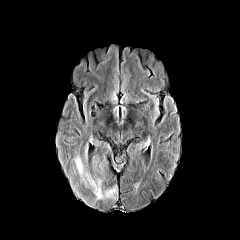
FLAIR MR image.
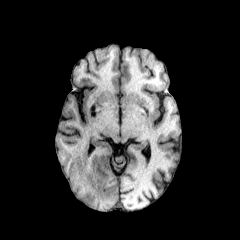
Same slice, T1-weighted magnetic resonance.
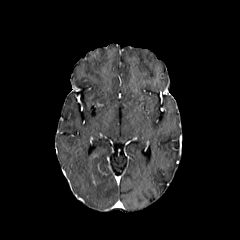
Same slice, post-contrast T1-weighted MRI.
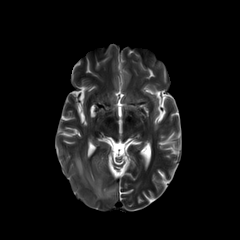
T2-weighted MR image.
Brain
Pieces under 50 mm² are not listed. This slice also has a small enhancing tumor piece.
The largest peritumoral edema region is at x1=73 y1=155 x2=117 y2=200.